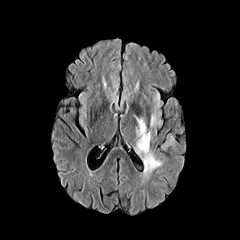
FLAIR magnetic resonance.
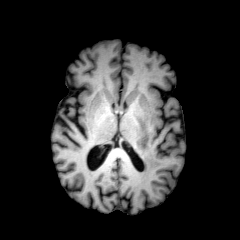
T1-weighted MR.
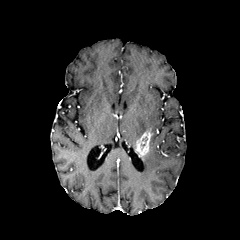
Post-contrast T1-weighted MR image.
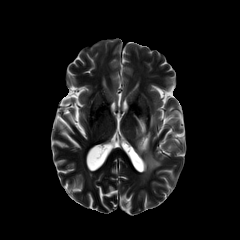
T2-weighted MR.
Axial plane
4 peritumoral edema regions are bounded by <bbox>161, 133, 175, 149</bbox>, <bbox>132, 113, 146, 138</bbox>, <bbox>143, 150, 161, 172</bbox>, <bbox>150, 113, 156, 127</bbox>. The enhancing tumor is located at <bbox>135, 132, 151, 156</bbox>.